Axial slice, 240x240 px
FLAIR MR image.
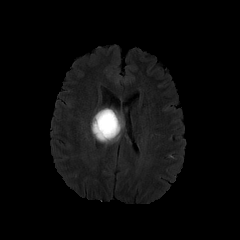
T1-weighted MR image.
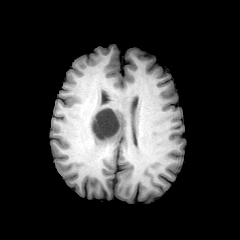
Post-contrast T1-weighted magnetic resonance.
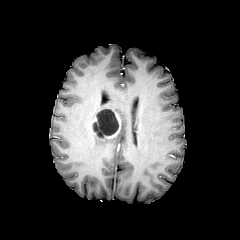
T2-weighted MR.
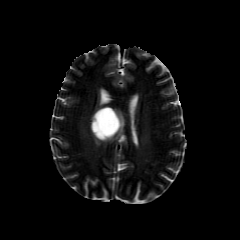
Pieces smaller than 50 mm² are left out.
{
  "peritumoral_edema": [
    "92:107:124:143"
  ],
  "necrotic_tumor_core": [
    "92:122:98:132",
    "96:108:118:135"
  ],
  "enhancing_tumor": [
    "91:111:120:139"
  ]
}